Head
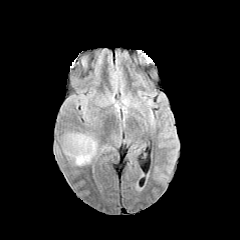
FLAIR MRI.
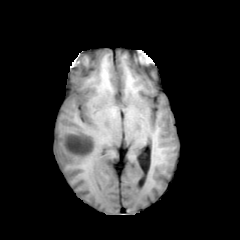
T1-weighted MRI.
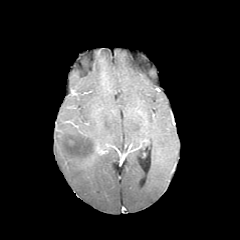
Post-contrast T1-weighted MR image.
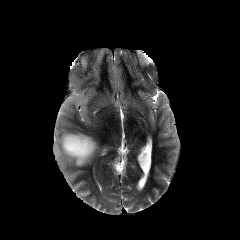
T2-weighted MR.
The peritumoral edema lies within box=[62, 133, 97, 165].